Axial plane, Brain
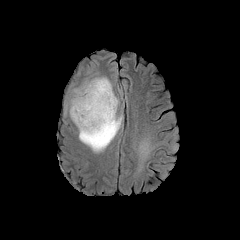
FLAIR MR image.
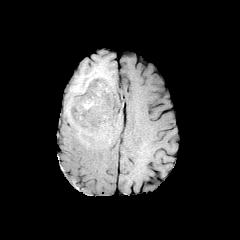
T1-weighted MR image.
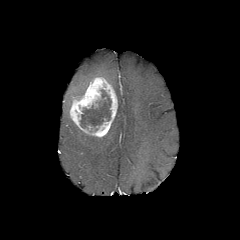
Post-contrast T1-weighted MRI.
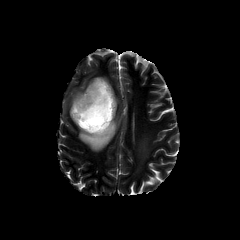
T2-weighted MRI.
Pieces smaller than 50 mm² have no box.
necrotic tumor core at region(80, 89, 111, 128)
enhancing tumor at region(70, 77, 117, 137)
peritumoral edema at region(73, 82, 89, 97); region(139, 128, 178, 163); region(79, 99, 122, 152)